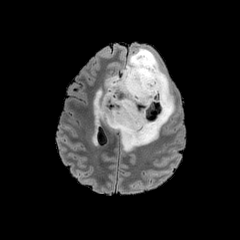
FLAIR MR image.
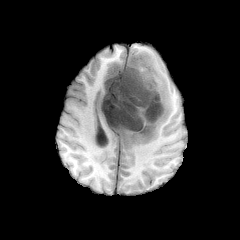
T1-weighted MR image.
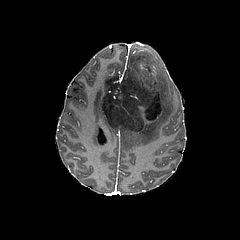
Post-contrast T1-weighted magnetic resonance.
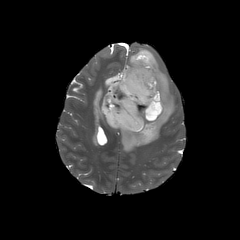
T2-weighted MR image.
Image size 240x240
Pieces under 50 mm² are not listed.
{
  "necrotic_tumor_core": [
    "bbox=[102, 54, 164, 133]"
  ],
  "peritumoral_edema": [
    "bbox=[104, 64, 125, 91]",
    "bbox=[93, 89, 106, 123]",
    "bbox=[112, 48, 174, 151]"
  ]
}